Axial plane, Brain
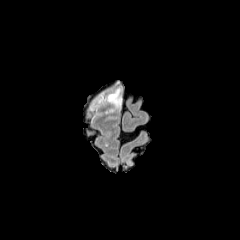
FLAIR magnetic resonance.
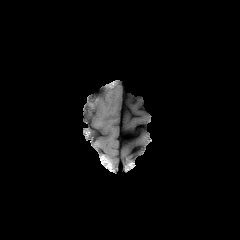
T1-weighted MR image.
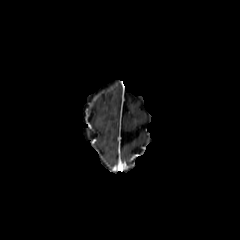
Post-contrast T1-weighted MRI.
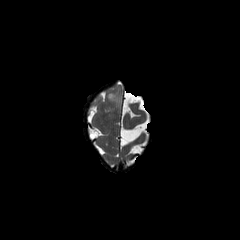
T2-weighted MR image.
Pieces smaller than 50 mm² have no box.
The largest peritumoral edema region is at l=108, t=89, r=121, b=107.